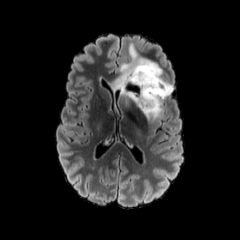
FLAIR magnetic resonance.
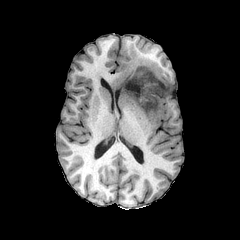
T1-weighted MR.
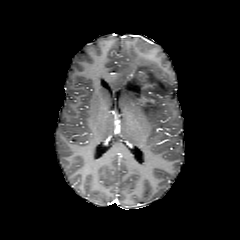
Post-contrast T1-weighted MRI of the same slice.
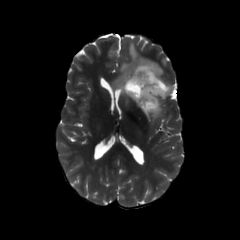
T2-weighted MR image of the same slice.
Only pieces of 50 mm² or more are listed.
necrotic_tumor_core:
  - 126,83,139,92
peritumoral_edema:
  - 112,43,173,119
enhancing_tumor:
  - 137,96,156,106
  - 127,70,147,81